Head | Image width 240 mm
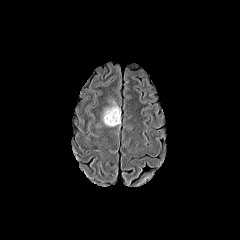
FLAIR MRI.
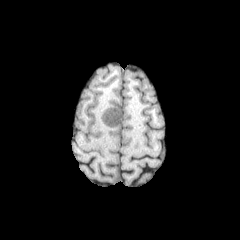
Same slice, T1-weighted MR image.
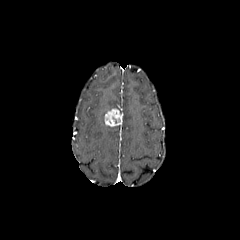
Post-contrast T1-weighted MR of the same slice.
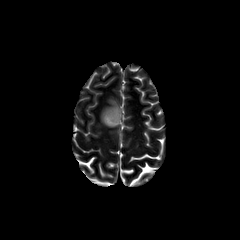
T2-weighted MR of the same slice.
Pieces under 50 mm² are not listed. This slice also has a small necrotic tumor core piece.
peritumoral edema — [102, 101, 119, 121]
enhancing tumor — [104, 108, 121, 126]